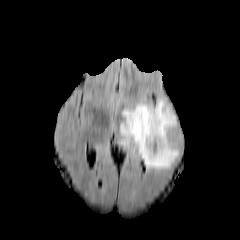
FLAIR MR image.
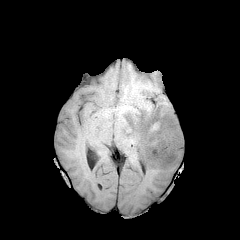
T1-weighted MR image.
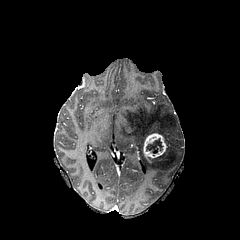
Post-contrast T1-weighted MR.
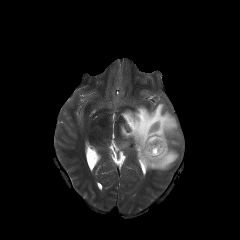
T2-weighted MR image of the same slice.
240x240 px
The peritumoral edema appears at box(119, 99, 180, 170). The enhancing tumor appears at box(143, 133, 167, 162). The necrotic tumor core is at box(146, 138, 162, 155).